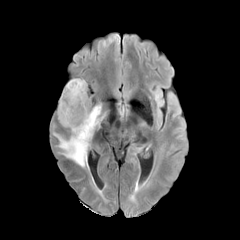
FLAIR magnetic resonance.
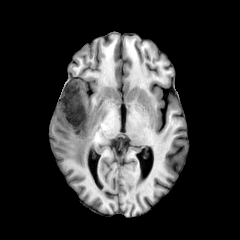
T1-weighted MR.
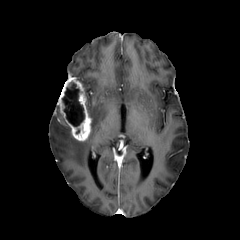
Post-contrast T1-weighted MRI.
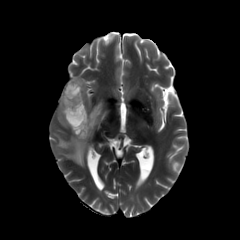
Same slice, T2-weighted MR image.
Brain; 240x240
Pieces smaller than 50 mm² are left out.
Annotated regions:
* enhancing tumor: (57, 77, 91, 140)
* peritumoral edema: (53, 104, 104, 167)
* necrotic tumor core: (62, 82, 84, 126)